Brain; Slice 55/155; Image width 240 mm, 1.00 mm slice spacing
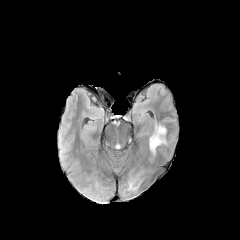
FLAIR MRI.
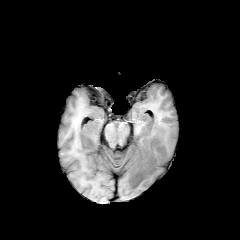
T1-weighted MRI of the same slice.
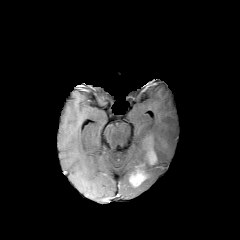
Post-contrast T1-weighted MRI.
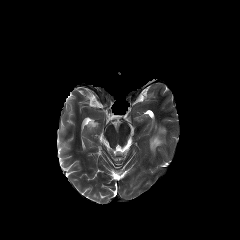
T2-weighted magnetic resonance.
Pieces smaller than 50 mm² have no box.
{
  "peritumoral_edema": [
    "[149, 125, 166, 154]"
  ],
  "enhancing_tumor": [
    "[130, 173, 144, 185]"
  ]
}